Slice 39 of 155. Head. Axial plane.
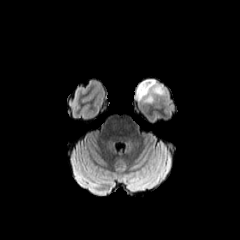
FLAIR MR.
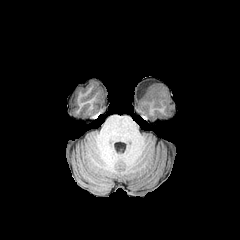
T1-weighted MR image.
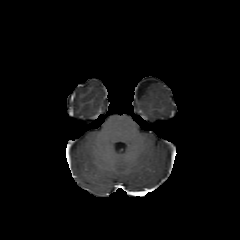
Post-contrast T1-weighted magnetic resonance.
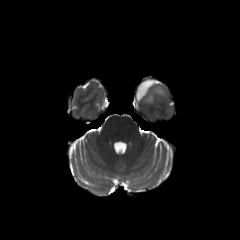
Same slice, T2-weighted MR.
peritumoral edema: bounding box [136,79,157,102], [153,86,162,94]